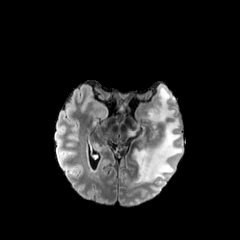
FLAIR MR.
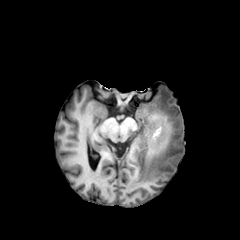
Same slice, T1-weighted MRI.
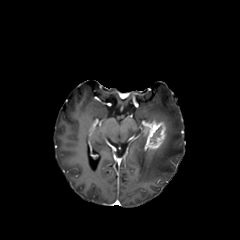
Same slice, post-contrast T1-weighted MR.
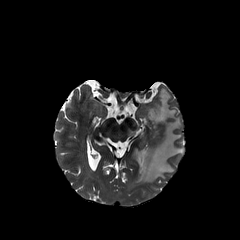
T2-weighted MRI.
Head. 240x240 px. Axial slice.
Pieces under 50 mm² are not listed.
peritumoral edema: x1=131, y1=85, x2=183, y2=183; x1=128, y1=123, x2=139, y2=136 | enhancing tumor: x1=142, y1=120, x2=167, y2=149 | necrotic tumor core: x1=152, y1=127, x2=161, y2=142